Slice index 70
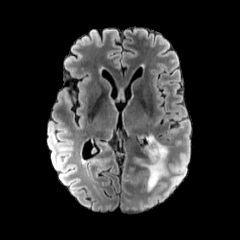
FLAIR MR.
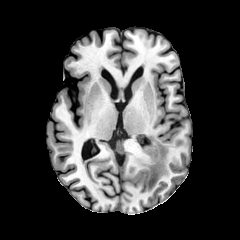
Same slice, T1-weighted MR image.
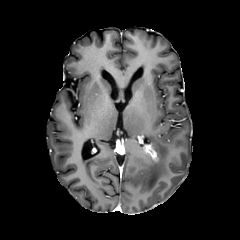
Same slice, post-contrast T1-weighted magnetic resonance.
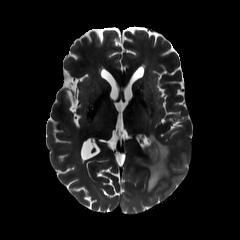
T2-weighted magnetic resonance.
peritumoral edema: l=133, t=135, r=168, b=191
enhancing tumor: l=142, t=144, r=157, b=161